Slice index 86; Image size 240x240; Axial slice
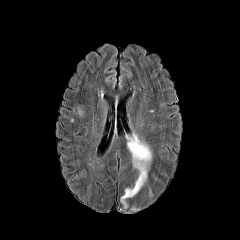
FLAIR MR.
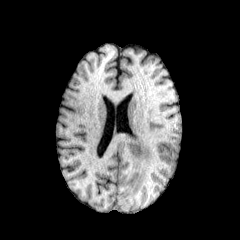
T1-weighted MR.
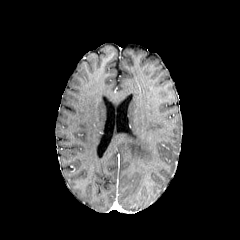
Post-contrast T1-weighted MR image.
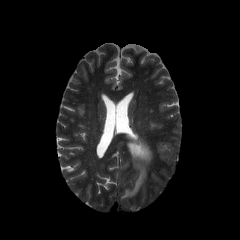
Same slice, T2-weighted MR image.
peritumoral_edema:
  - (left=121, top=134, right=152, bottom=202)